Image size 240x240. Image covers 240 mm x 240 mm. Axial view.
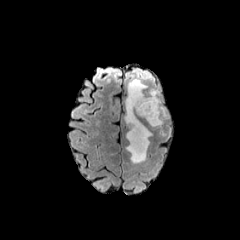
FLAIR MR image.
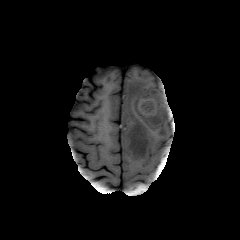
T1-weighted MRI of the same slice.
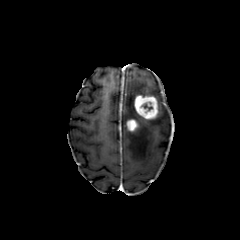
Same slice, post-contrast T1-weighted MR.
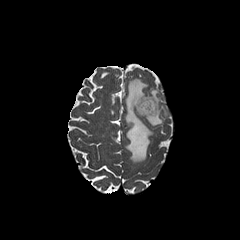
T2-weighted magnetic resonance of the same slice.
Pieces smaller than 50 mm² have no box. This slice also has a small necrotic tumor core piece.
Findings:
• peritumoral edema: (124,79,168,163)
• enhancing tumor: (126,119,138,131), (134,95,158,119)